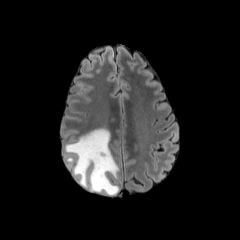
FLAIR magnetic resonance.
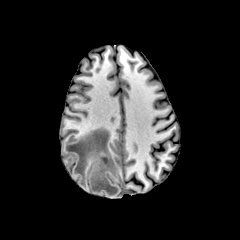
T1-weighted MR of the same slice.
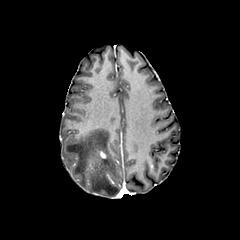
Post-contrast T1-weighted MR image.
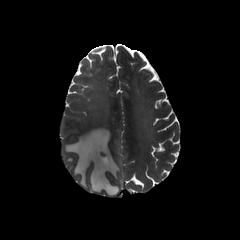
Same slice, T2-weighted MR image.
240x240. Brain.
Findings:
• enhancing tumor: (97,150,106,158)
• peritumoral edema: (64,128,119,195), (66,155,73,166)